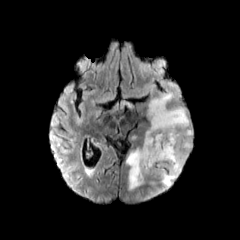
FLAIR magnetic resonance.
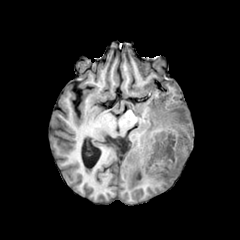
T1-weighted MR.
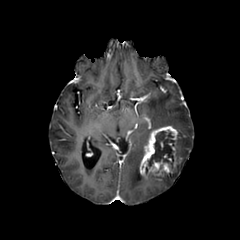
Post-contrast T1-weighted MR image.
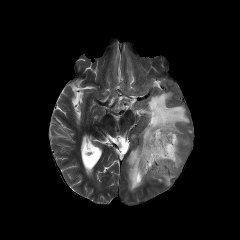
Same slice, T2-weighted MR image.
Axial view; 240x240
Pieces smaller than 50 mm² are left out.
peritumoral edema: bounding box box=[126, 93, 192, 192]
necrotic tumor core: bounding box box=[147, 130, 174, 166]
enhancing tumor: bounding box box=[139, 125, 182, 181]